Axial view
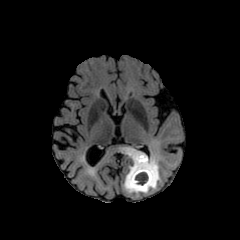
FLAIR MR image.
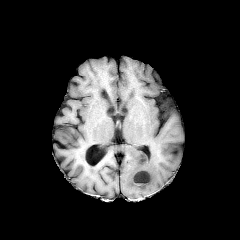
T1-weighted magnetic resonance.
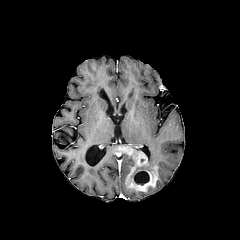
Post-contrast T1-weighted magnetic resonance.
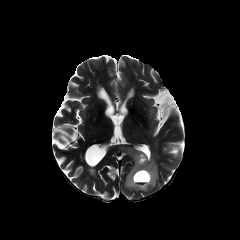
Same slice, T2-weighted MR.
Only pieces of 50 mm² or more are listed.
peritumoral edema: [x1=123, y1=175, x2=141, y2=193], [x1=142, y1=156, x2=160, y2=193] | necrotic tumor core: [x1=134, y1=171, x2=149, y2=185] | enhancing tumor: [x1=123, y1=147, x2=158, y2=191]